Head; Axial slice
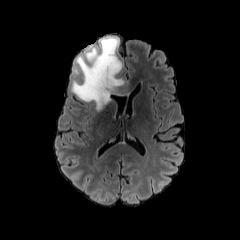
FLAIR MR.
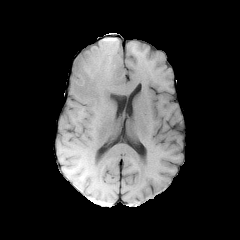
Same slice, T1-weighted MR.
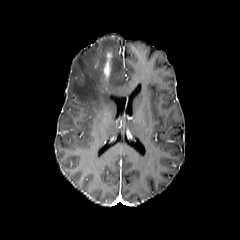
Post-contrast T1-weighted magnetic resonance.
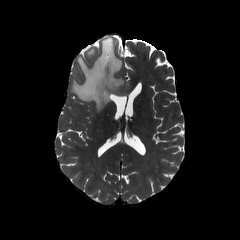
T2-weighted MR.
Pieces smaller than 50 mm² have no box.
Findings:
• enhancing tumor: box(101, 51, 112, 85)
• peritumoral edema: box(71, 37, 130, 111)